Image covers 240 mm x 240 mm. Head. Axial slice. Slice index 122.
FLAIR magnetic resonance.
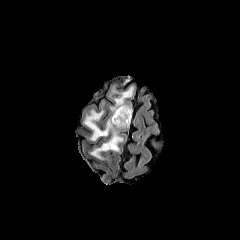
T1-weighted MR image.
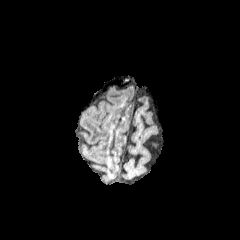
Post-contrast T1-weighted MR image.
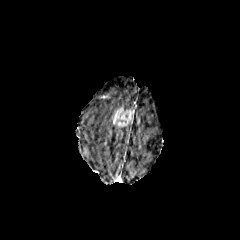
T2-weighted MR.
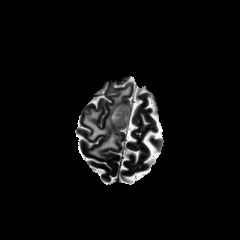
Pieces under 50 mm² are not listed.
Segmented structures:
* enhancing tumor: {"x1": 111, "y1": 106, "x2": 132, "y2": 128}
* peritumoral edema: {"x1": 84, "y1": 110, "x2": 122, "y2": 159}, {"x1": 110, "y1": 87, "x2": 133, "y2": 113}